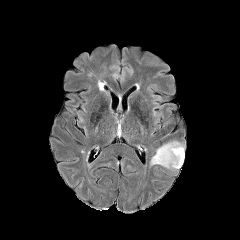
FLAIR MR.
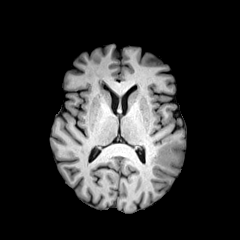
T1-weighted magnetic resonance.
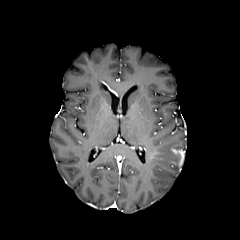
Same slice, post-contrast T1-weighted magnetic resonance.
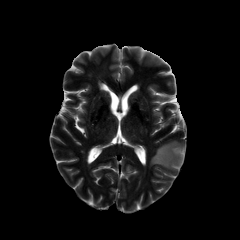
T2-weighted MRI of the same slice.
Brain. Axial view.
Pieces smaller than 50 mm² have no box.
The peritumoral edema is at (150,140,184,170). The largest enhancing tumor region appears at (171,148,184,166).